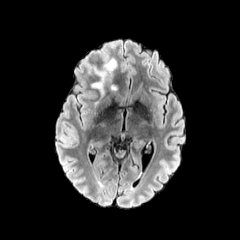
FLAIR MR image.
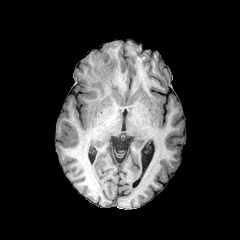
T1-weighted MR image of the same slice.
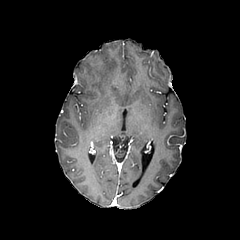
Post-contrast T1-weighted MR of the same slice.
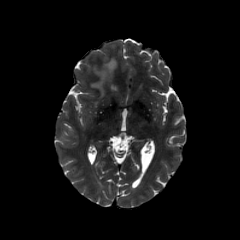
Same slice, T2-weighted MRI.
Head. Axial view.
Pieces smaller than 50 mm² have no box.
{
  "peritumoral_edema": [
    "<bbox>91, 58, 116, 105</bbox>"
  ]
}